Slice index 66; Image width 240 mm
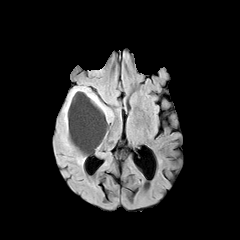
FLAIR MR.
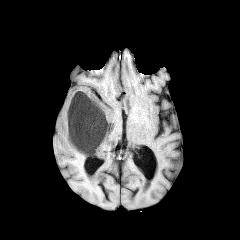
T1-weighted magnetic resonance.
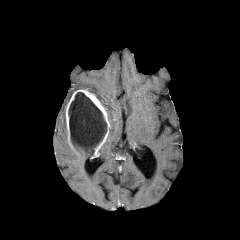
Same slice, post-contrast T1-weighted MRI.
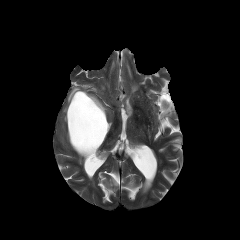
T2-weighted MR.
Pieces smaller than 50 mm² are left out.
<segmentation>
  <peritumoral_edema>[x1=60, y1=84, x2=92, y2=150], [x1=101, y1=102, x2=113, y2=124], [x1=74, y1=151, x2=90, y2=164]</peritumoral_edema>
  <enhancing_tumor>[x1=66, y1=90, x2=110, y2=154]</enhancing_tumor>
  <necrotic_tumor_core>[x1=68, y1=92, x2=106, y2=153]</necrotic_tumor_core>
</segmentation>